FLAIR MRI.
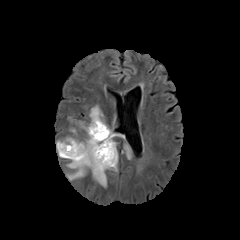
T1-weighted MR image.
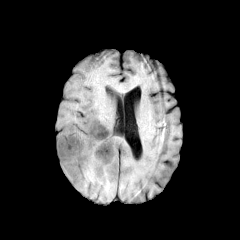
Post-contrast T1-weighted MR image.
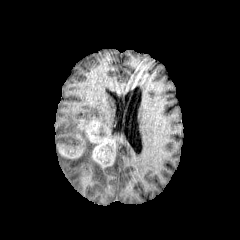
T2-weighted MR.
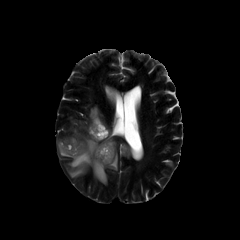
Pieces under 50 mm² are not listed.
enhancing tumor: (x1=58, y1=134, x2=84, y2=158), (x1=78, y1=117, x2=115, y2=168)
peritumoral edema: (x1=89, y1=106, x2=105, y2=124), (x1=56, y1=128, x2=77, y2=149), (x1=66, y1=136, x2=118, y2=186), (x1=124, y1=145, x2=130, y2=159)